Axial slice
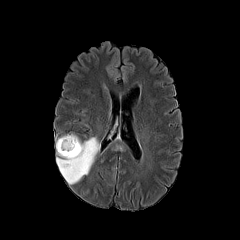
FLAIR MRI.
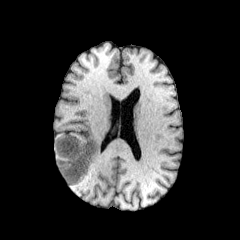
T1-weighted MR.
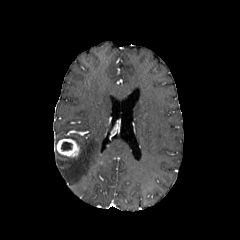
Post-contrast T1-weighted MR.
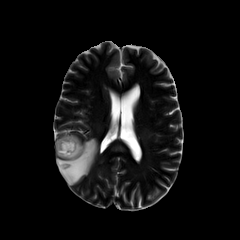
Same slice, T2-weighted MR image.
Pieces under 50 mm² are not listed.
Findings:
* peritumoral edema: box(56, 134, 99, 184)
* enhancing tumor: box(56, 138, 79, 157)
* necrotic tumor core: box(61, 142, 72, 150)